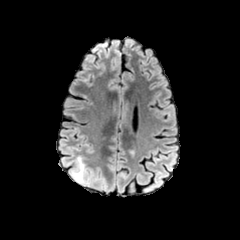
FLAIR magnetic resonance.
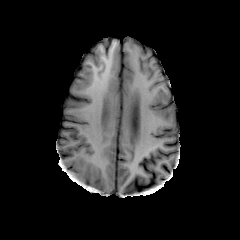
T1-weighted MR.
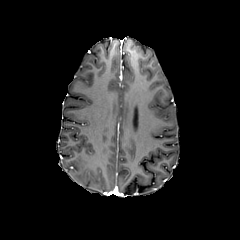
Post-contrast T1-weighted MR.
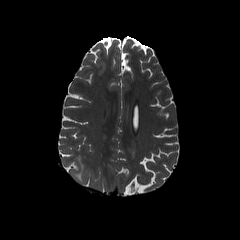
T2-weighted magnetic resonance.
Head
The peritumoral edema is located at x1=70, y1=156, x2=93, y2=184.